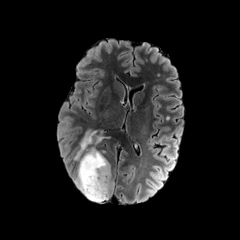
FLAIR MR image.
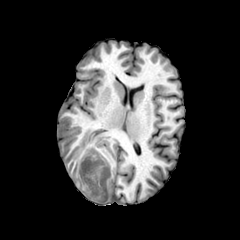
T1-weighted MR.
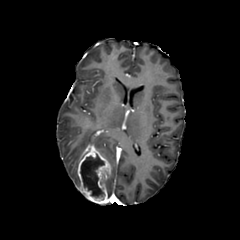
Same slice, post-contrast T1-weighted magnetic resonance.
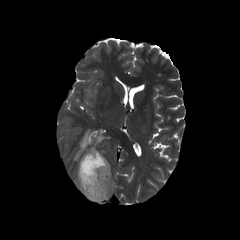
T2-weighted magnetic resonance.
Head.
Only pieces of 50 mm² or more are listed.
Findings:
* enhancing tumor: region(77, 145, 111, 203)
* necrotic tumor core: region(80, 154, 104, 197)
* peritumoral edema: region(107, 172, 113, 197); region(74, 129, 110, 164); region(74, 165, 79, 188)